Brain; Image covers 240 mm x 240 mm; Axial view
FLAIR MR.
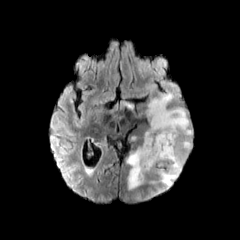
T1-weighted MR.
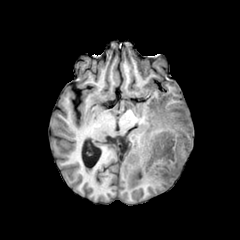
Post-contrast T1-weighted magnetic resonance.
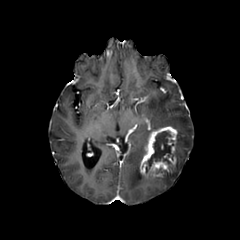
T2-weighted MR.
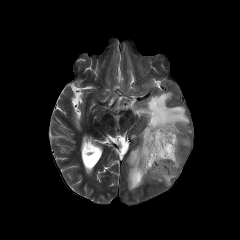
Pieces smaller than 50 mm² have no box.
Annotated regions:
- enhancing tumor: l=139, t=126, r=177, b=179
- necrotic tumor core: l=146, t=131, r=173, b=173
- peritumoral edema: l=126, t=130, r=149, b=190; l=125, t=93, r=192, b=192